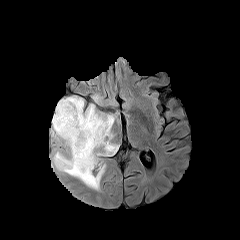
FLAIR MR image.
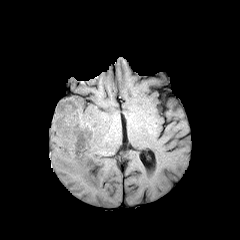
T1-weighted MR image.
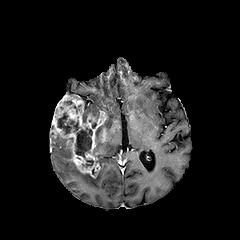
Same slice, post-contrast T1-weighted magnetic resonance.
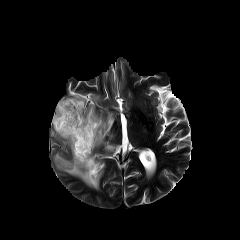
Same slice, T2-weighted MR image.
Head. 240x240 px.
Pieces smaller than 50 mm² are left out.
The largest enhancing tumor region is bounded by rect(51, 96, 106, 177). The 2 largest necrotic tumor core regions are bounded by rect(75, 127, 92, 158); rect(57, 112, 79, 134). The 5 largest peritumoral edema regions are located at rect(53, 151, 105, 189); rect(83, 104, 99, 120); rect(54, 135, 71, 157); rect(94, 114, 118, 162); rect(92, 95, 100, 102).